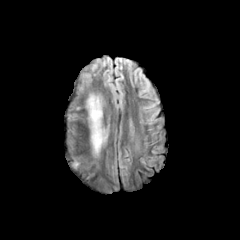
FLAIR MR image.
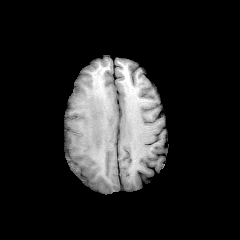
Same slice, T1-weighted MR.
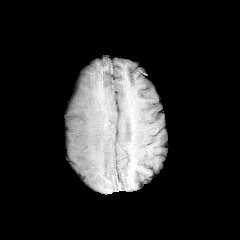
Same slice, post-contrast T1-weighted MRI.
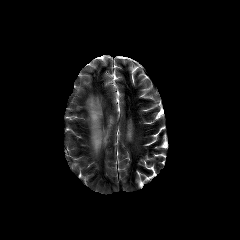
T2-weighted MR.
Head
peritumoral edema = [88,96,106,152]